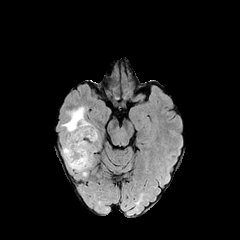
FLAIR magnetic resonance.
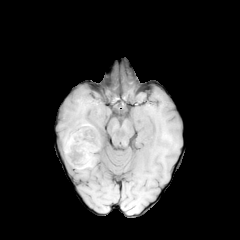
Same slice, T1-weighted MRI.
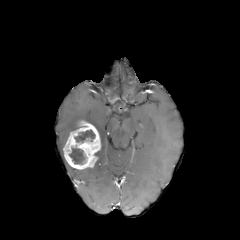
Post-contrast T1-weighted MR.
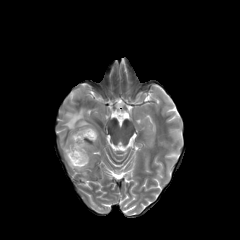
T2-weighted magnetic resonance.
Image size 240x240
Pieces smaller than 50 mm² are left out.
The enhancing tumor is bounded by [x1=63, y1=121, x2=100, y2=169]. The largest peritumoral edema region is bounded by [x1=62, y1=107, x2=86, y2=132]. 2 necrotic tumor core regions appear at [x1=74, y1=130, x2=95, y2=142], [x1=69, y1=147, x2=85, y2=164].